FLAIR MRI.
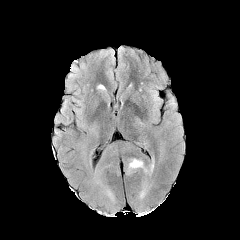
T1-weighted MR image.
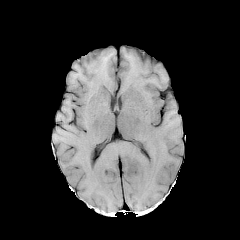
Post-contrast T1-weighted magnetic resonance.
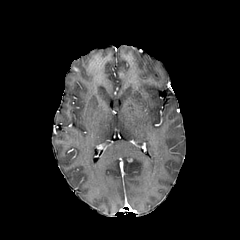
T2-weighted MR.
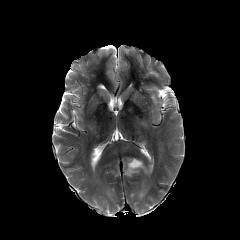
Axial view
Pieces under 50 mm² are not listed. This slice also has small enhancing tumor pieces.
peritumoral edema at box(126, 158, 153, 174)